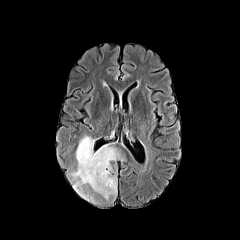
FLAIR MRI.
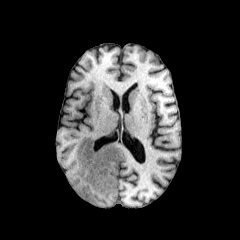
T1-weighted MRI.
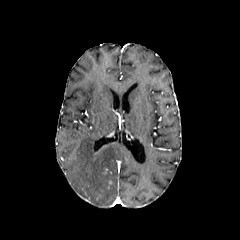
Post-contrast T1-weighted MR.
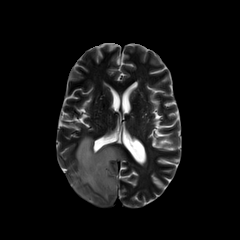
Same slice, T2-weighted magnetic resonance.
Axial plane | Image size 240x240
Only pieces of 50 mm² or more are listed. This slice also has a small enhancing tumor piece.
<segmentation>
  <peritumoral_edema><box>69,136,122,203</box></peritumoral_edema>
</segmentation>